Head. 240x240. Axial slice.
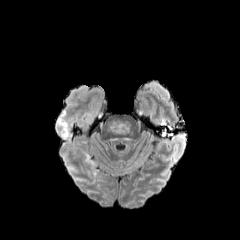
FLAIR MR.
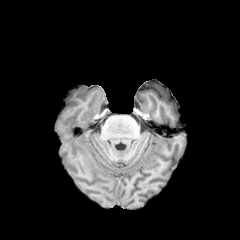
T1-weighted magnetic resonance.
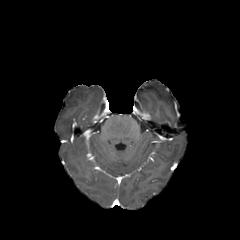
Post-contrast T1-weighted magnetic resonance.
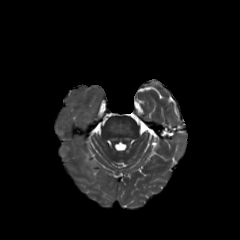
Same slice, T2-weighted MR image.
Findings:
* peritumoral edema: box(86, 155, 93, 164)